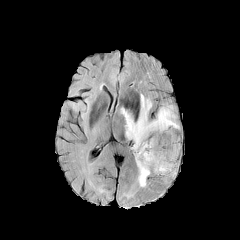
FLAIR magnetic resonance.
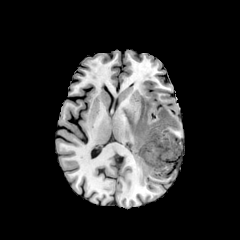
T1-weighted MR image of the same slice.
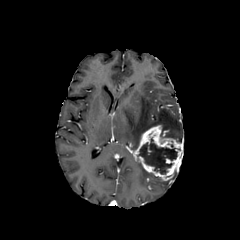
Post-contrast T1-weighted MR image.
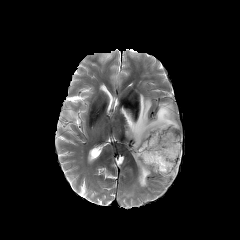
T2-weighted magnetic resonance.
Brain
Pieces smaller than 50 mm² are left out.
The enhancing tumor is bounded by rect(132, 125, 182, 180). The largest necrotic tumor core region appears at rect(138, 139, 177, 173). The 2 largest peritumoral edema regions are located at rect(136, 161, 151, 187); rect(120, 94, 180, 150).